Image width 240 mm, Brain, Axial plane
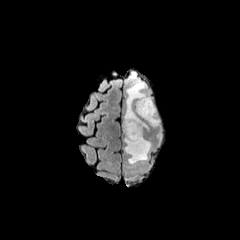
FLAIR MR.
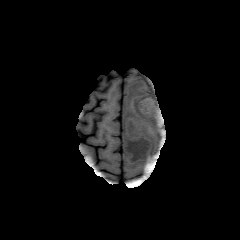
Same slice, T1-weighted MR.
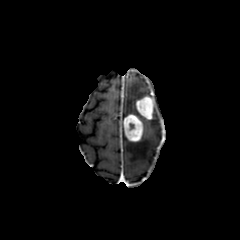
Post-contrast T1-weighted MR of the same slice.
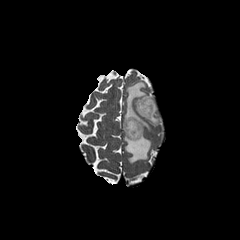
T2-weighted magnetic resonance of the same slice.
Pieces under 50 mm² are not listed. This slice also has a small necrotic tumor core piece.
enhancing_tumor:
  - {"x1": 123, "y1": 114, "x2": 143, "y2": 141}
  - {"x1": 136, "y1": 96, "x2": 154, "y2": 119}
peritumoral_edema:
  - {"x1": 147, "y1": 107, "x2": 159, "y2": 126}
  - {"x1": 124, "y1": 81, "x2": 148, "y2": 117}
  - {"x1": 124, "y1": 136, "x2": 151, "y2": 164}